Head | 240x240 | Slice 116 of 155 | Axial plane
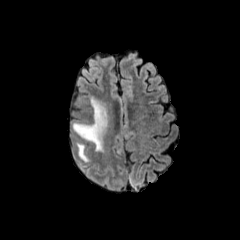
FLAIR MR.
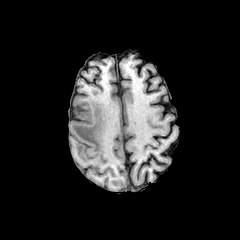
T1-weighted MRI of the same slice.
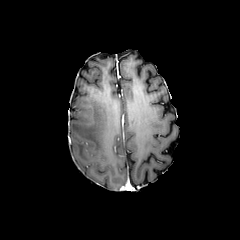
Same slice, post-contrast T1-weighted MR image.
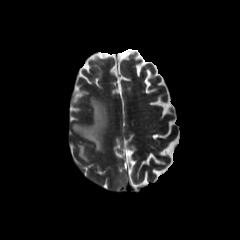
T2-weighted magnetic resonance of the same slice.
peritumoral_edema:
  - box=[77, 143, 90, 162]
  - box=[71, 97, 109, 153]